FLAIR magnetic resonance.
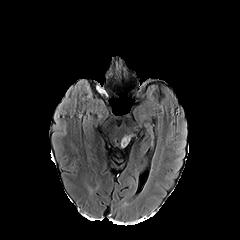
T1-weighted MR.
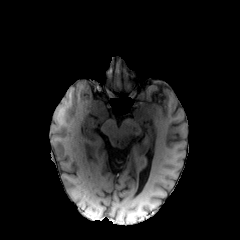
Post-contrast T1-weighted MR.
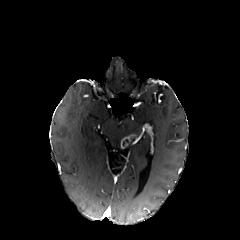
T2-weighted MRI.
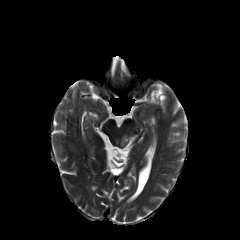
Image size 240x240 | Head
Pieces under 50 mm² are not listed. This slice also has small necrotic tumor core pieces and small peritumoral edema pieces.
The enhancing tumor is located at (left=121, top=134, right=136, bottom=148).